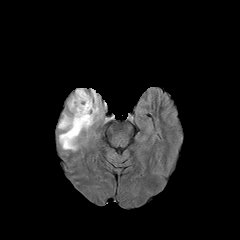
FLAIR MRI.
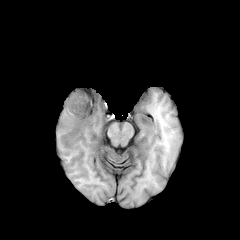
T1-weighted MR image of the same slice.
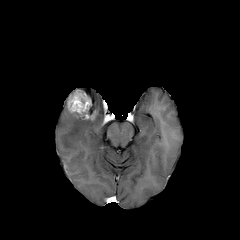
Post-contrast T1-weighted MR image.
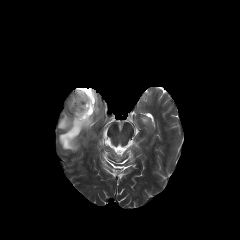
Same slice, T2-weighted MRI.
Brain
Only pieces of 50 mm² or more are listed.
The enhancing tumor appears at [67,89,97,120]. The largest peritumoral edema region is bounded by [58,88,102,151].